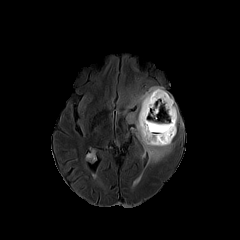
FLAIR MRI.
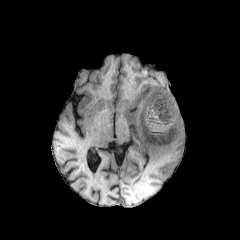
T1-weighted magnetic resonance.
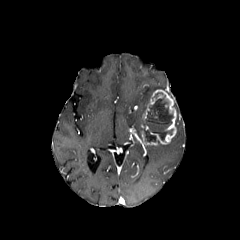
Post-contrast T1-weighted MR image of the same slice.
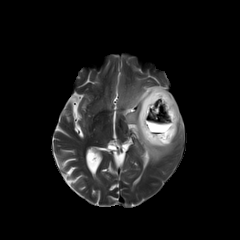
Same slice, T2-weighted MR image.
Brain, 240x240 px
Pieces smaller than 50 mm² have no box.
<segmentation>
  <necrotic_tumor_core>(left=141, top=96, right=173, bottom=141)</necrotic_tumor_core>
  <peritumoral_edema>(left=126, top=86, right=164, bottom=138), (left=174, top=103, right=178, bottom=126), (left=145, top=141, right=173, bottom=163)</peritumoral_edema>
  <enhancing_tumor>(left=142, top=89, right=176, bottom=144), (left=140, top=131, right=158, bottom=145)</enhancing_tumor>
</segmentation>